FLAIR magnetic resonance.
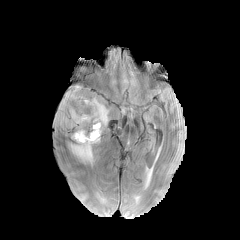
T1-weighted MRI.
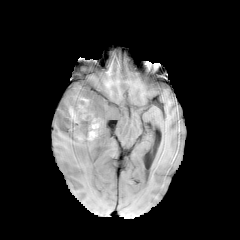
Post-contrast T1-weighted MRI.
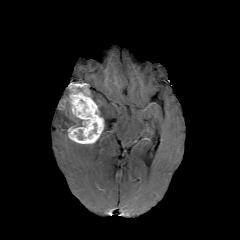
T2-weighted MRI.
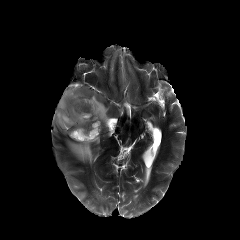
Head
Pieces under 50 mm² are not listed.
Annotated regions:
- necrotic tumor core: 79,100,86,111
- peritumoral edema: 92,97,108,125; 56,101,82,129; 69,143,94,163
- enhancing tumor: 59,83,104,143